FLAIR MR image.
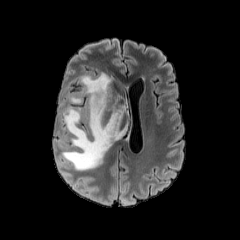
T1-weighted magnetic resonance.
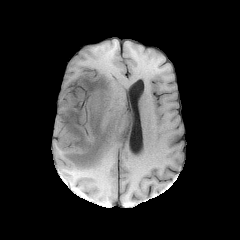
Post-contrast T1-weighted MR.
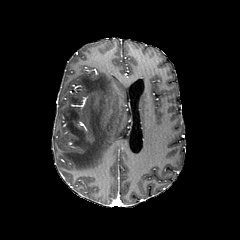
T2-weighted magnetic resonance.
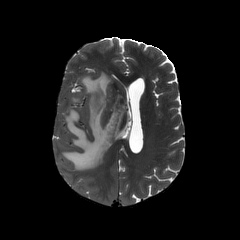
Axial plane. Brain. 240x240.
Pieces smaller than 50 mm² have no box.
The largest peritumoral edema region is at 62:72:126:170.